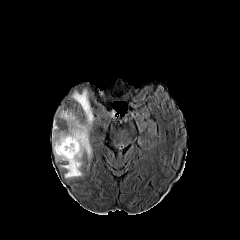
FLAIR MRI.
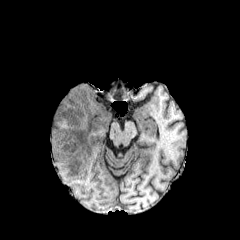
T1-weighted MR image.
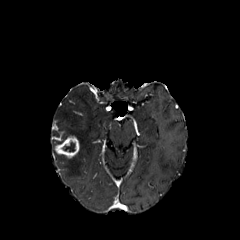
Same slice, post-contrast T1-weighted MRI.
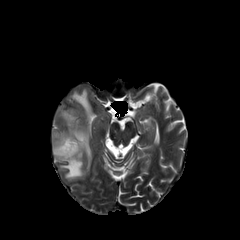
Same slice, T2-weighted MRI.
Axial view. Brain.
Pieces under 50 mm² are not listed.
necrotic tumor core: bounding box x1=62 y1=142 x2=75 y2=151
enhancing tumor: bounding box x1=55 y1=135 x2=79 y2=158
peritumoral edema: bounding box x1=53 y1=89 x2=93 y2=178